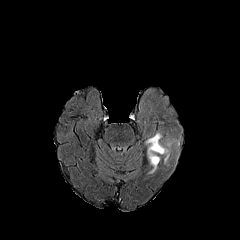
FLAIR MRI.
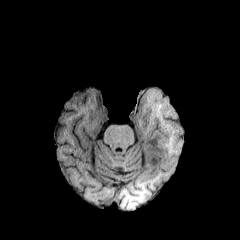
Same slice, T1-weighted MRI.
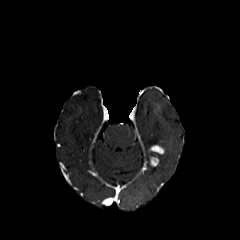
Post-contrast T1-weighted MRI.
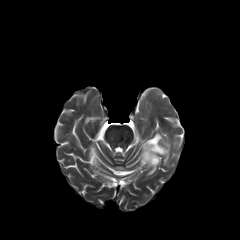
T2-weighted MR image.
Image size 240x240. Head.
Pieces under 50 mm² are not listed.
enhancing tumor: bbox=[149, 145, 164, 154]; bbox=[149, 155, 159, 166]
peritumoral edema: bbox=[163, 139, 171, 162]; bbox=[145, 132, 162, 147]